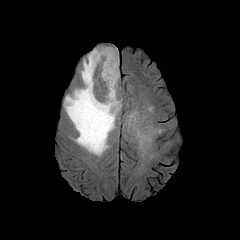
FLAIR MR image.
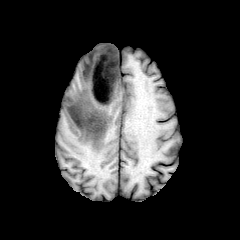
T1-weighted MR image.
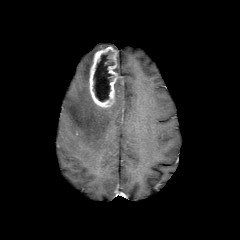
Post-contrast T1-weighted magnetic resonance.
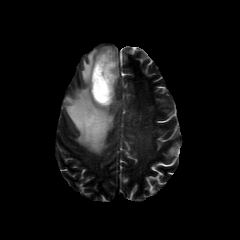
Same slice, T2-weighted MR image.
Head | Axial slice
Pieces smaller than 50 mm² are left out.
enhancing tumor = box(89, 46, 118, 107)
peritumoral edema = box(64, 47, 121, 155)
necrotic tumor core = box(93, 51, 114, 101)